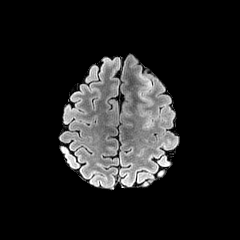
FLAIR magnetic resonance.
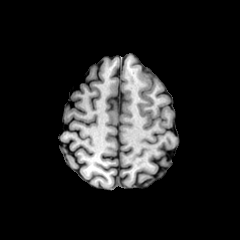
T1-weighted MR.
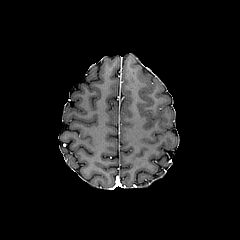
Same slice, post-contrast T1-weighted MR image.
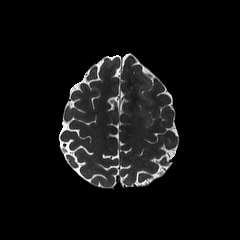
Same slice, T2-weighted magnetic resonance.
Axial view
{
  "peritumoral_edema": [
    "left=139, top=78, right=151, bottom=105",
    "left=140, top=105, right=151, bottom=124"
  ]
}